FLAIR MR image.
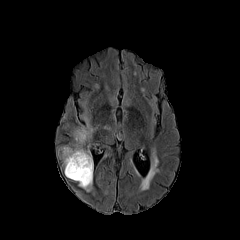
T1-weighted magnetic resonance.
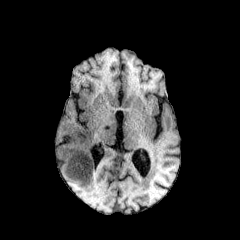
Post-contrast T1-weighted MR image.
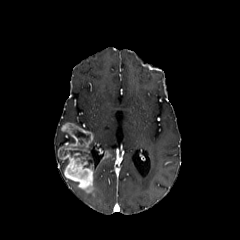
T2-weighted MRI.
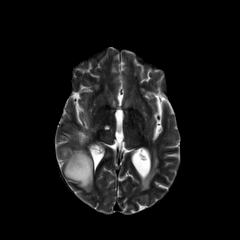
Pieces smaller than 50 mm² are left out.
peritumoral edema — (left=79, top=114, right=93, bottom=132)
enhancing tumor — (left=102, top=151, right=110, bottom=160), (left=58, top=123, right=96, bottom=196)
necrotic tumor core — (left=73, top=130, right=89, bottom=144), (left=69, top=150, right=92, bottom=167)